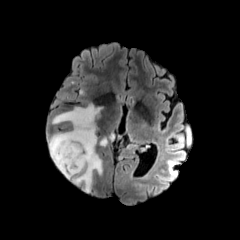
FLAIR MRI.
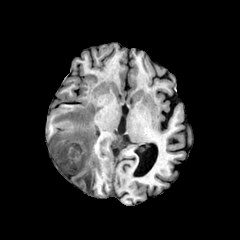
Same slice, T1-weighted MR.
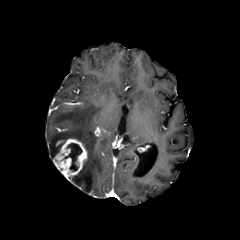
Post-contrast T1-weighted MR.
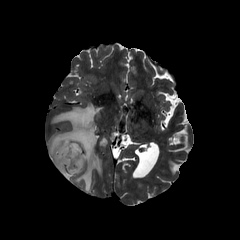
Same slice, T2-weighted MRI.
240x240
Findings:
• enhancing tumor: x1=53, y1=138, x2=87, y2=178
• necrotic tumor core: x1=64, y1=143, x2=82, y2=171
• peritumoral edema: x1=49, y1=104, x2=102, y2=191; x1=100, y1=138, x2=107, y2=146